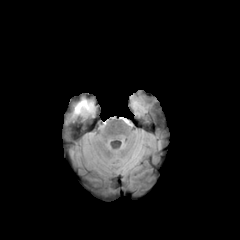
FLAIR MR image.
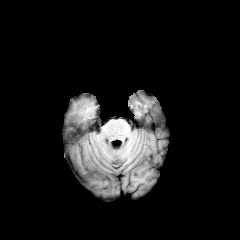
T1-weighted MR image of the same slice.
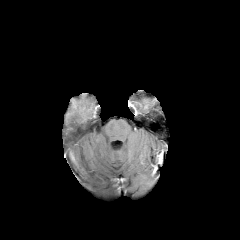
Post-contrast T1-weighted magnetic resonance of the same slice.
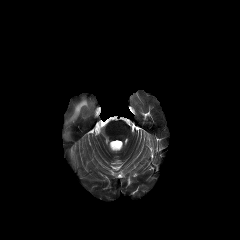
T2-weighted MR of the same slice.
peritumoral edema: l=68, t=98, r=94, b=121